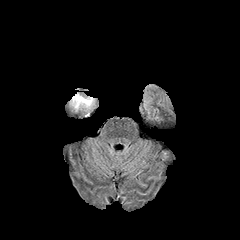
FLAIR MR.
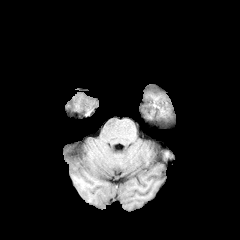
T1-weighted MRI of the same slice.
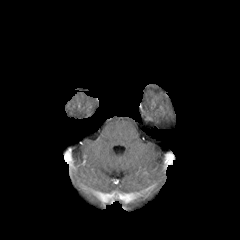
Same slice, post-contrast T1-weighted MR image.
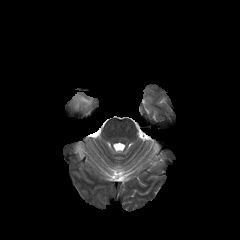
Same slice, T2-weighted MR.
240x240 | Brain
peritumoral_edema:
  - [72,93,93,108]